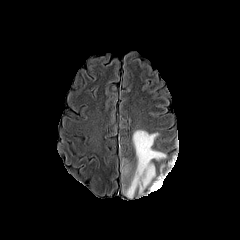
FLAIR magnetic resonance.
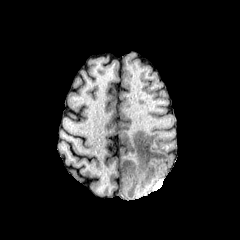
T1-weighted MR image.
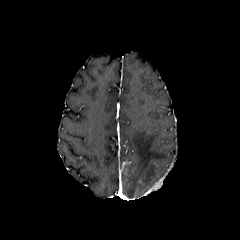
Post-contrast T1-weighted MRI of the same slice.
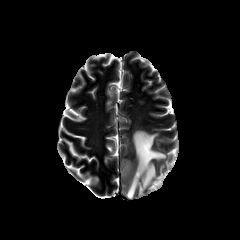
T2-weighted magnetic resonance of the same slice.
240x240
Segmented structures:
• peritumoral edema: bbox=[127, 130, 166, 197]